FLAIR MRI.
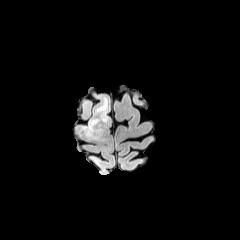
T1-weighted MRI.
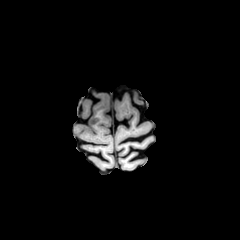
Post-contrast T1-weighted MRI.
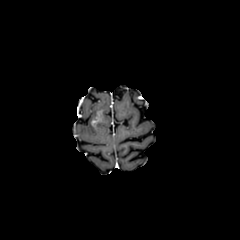
T2-weighted magnetic resonance.
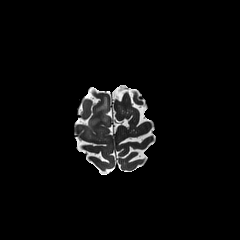
Axial view
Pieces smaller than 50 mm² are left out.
enhancing tumor: <box>91,110,103,127</box> | peritumoral edema: <box>95,97,109,122</box>, <box>86,118,102,137</box>